FLAIR MR image.
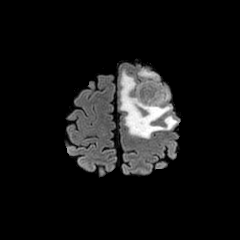
T1-weighted magnetic resonance.
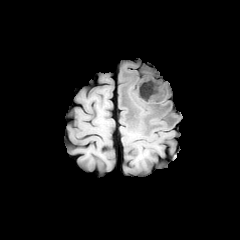
Post-contrast T1-weighted MR image.
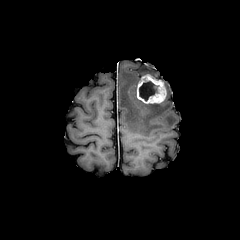
T2-weighted MR.
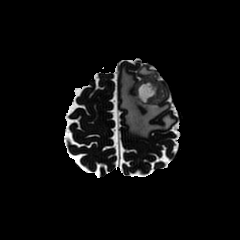
Image size 240x240 | Axial plane
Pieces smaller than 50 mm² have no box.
The necrotic tumor core is bounded by 139 81 156 100. The largest peritumoral edema region is at 119 68 176 138. The enhancing tumor is located at 137 74 166 103.